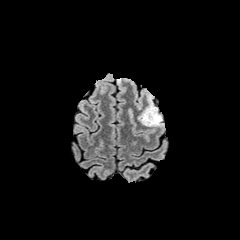
FLAIR MR image.
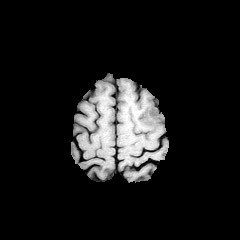
T1-weighted magnetic resonance.
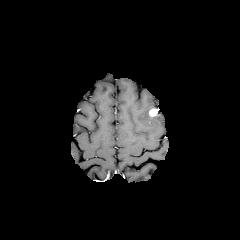
Post-contrast T1-weighted magnetic resonance.
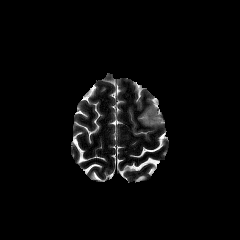
T2-weighted magnetic resonance of the same slice.
Axial view.
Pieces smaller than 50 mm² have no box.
Segmented structures:
- peritumoral edema: bbox=[138, 94, 164, 127]
- enhancing tumor: bbox=[149, 108, 157, 117]